FLAIR MRI.
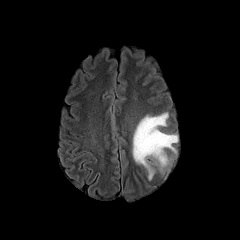
T1-weighted MR image.
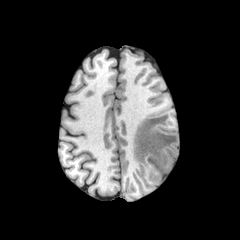
Post-contrast T1-weighted MR image.
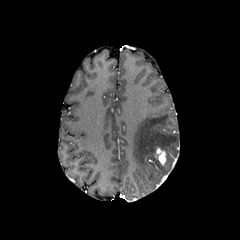
T2-weighted MRI.
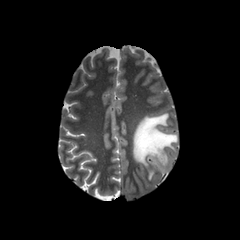
240x240 px, Axial plane, Head
The peritumoral edema appears at bbox(132, 113, 178, 180). The enhancing tumor is located at bbox(154, 147, 166, 165).